FLAIR MR image.
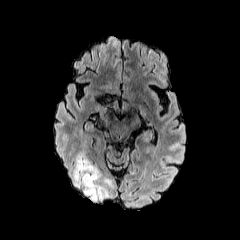
T1-weighted MR.
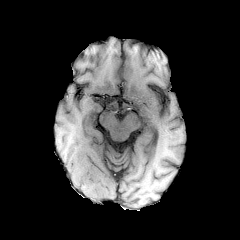
Post-contrast T1-weighted magnetic resonance.
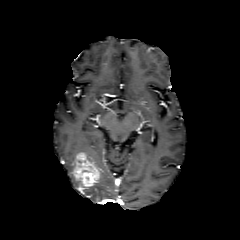
T2-weighted MR.
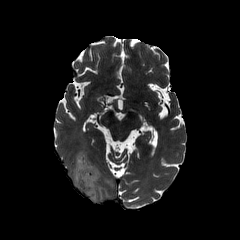
Axial slice
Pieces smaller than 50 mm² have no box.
<segmentation>
  <peritumoral_edema>(71,157,80,187), (82,182,107,201)</peritumoral_edema>
  <enhancing_tumor>(73,152,100,190)</enhancing_tumor>
</segmentation>